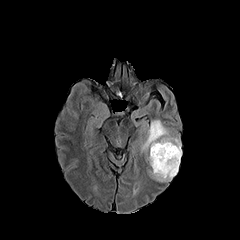
FLAIR MR image.
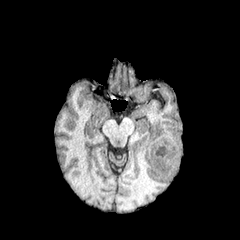
T1-weighted MR.
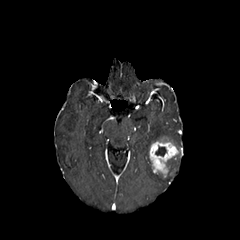
Same slice, post-contrast T1-weighted MRI.
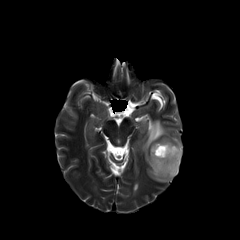
T2-weighted MR image of the same slice.
Axial plane; 240x240 px
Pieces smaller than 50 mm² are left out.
<segmentation>
  <enhancing_tumor>region(149, 137, 181, 177)</enhancing_tumor>
  <peritumoral_edema>region(150, 158, 180, 181); region(141, 120, 180, 152)</peritumoral_edema>
  <necrotic_tumor_core>region(155, 146, 166, 156)</necrotic_tumor_core>
</segmentation>